FLAIR MR image.
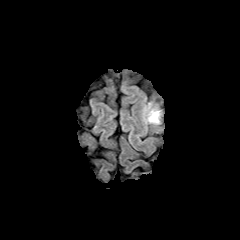
T1-weighted magnetic resonance.
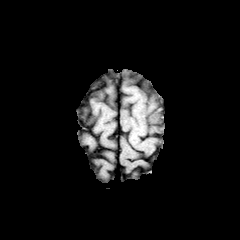
Post-contrast T1-weighted magnetic resonance.
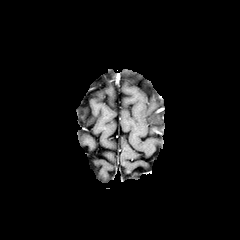
T2-weighted MRI.
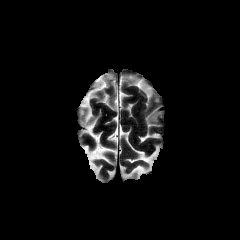
Image size 240x240 | Axial view
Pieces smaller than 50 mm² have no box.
{"peritumoral_edema": ["rect(147, 110, 160, 123)"]}